FLAIR magnetic resonance.
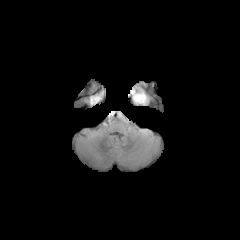
T1-weighted MRI.
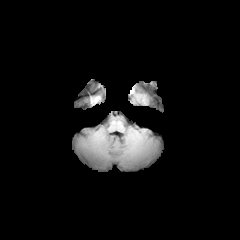
Post-contrast T1-weighted magnetic resonance.
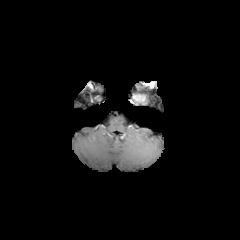
T2-weighted MR.
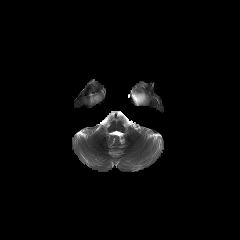
Head, Image size 240x240, Axial plane
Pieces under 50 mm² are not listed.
peritumoral_edema:
  - region(132, 90, 147, 104)
enhancing_tumor:
  - region(132, 94, 145, 104)